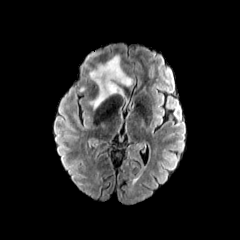
FLAIR MRI.
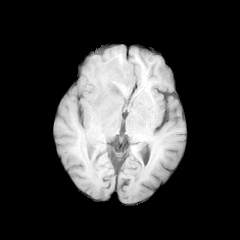
Same slice, T1-weighted MRI.
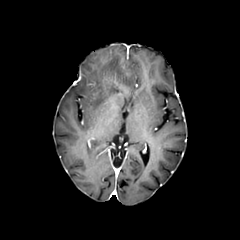
Post-contrast T1-weighted MRI.
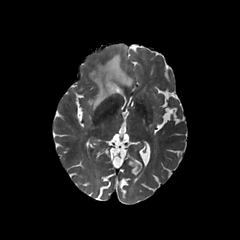
T2-weighted magnetic resonance.
Axial slice; Brain; 240x240 px
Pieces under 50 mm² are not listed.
peritumoral edema: bounding box 89, 55, 132, 110